FLAIR MRI.
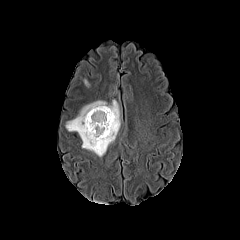
T1-weighted MR.
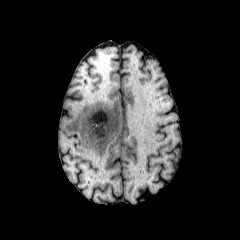
Post-contrast T1-weighted MRI.
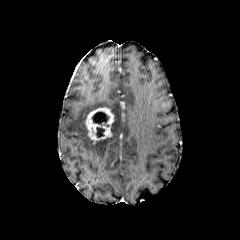
T2-weighted magnetic resonance.
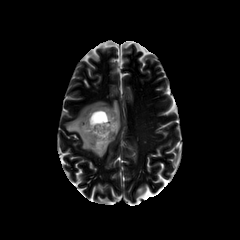
Axial view, Brain
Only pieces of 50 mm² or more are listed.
Findings:
• enhancing tumor: <bbox>85, 107, 114, 143</bbox>
• necrotic tumor core: <bbox>96, 127, 104, 137</bbox>, <bbox>92, 111, 109, 125</bbox>
• peritumoral edema: <bbox>65, 100, 120, 157</bbox>